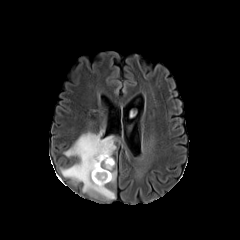
FLAIR magnetic resonance.
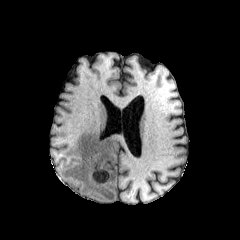
T1-weighted MRI of the same slice.
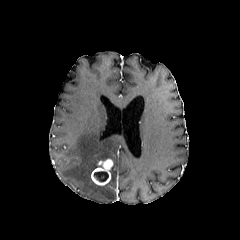
Post-contrast T1-weighted MRI.
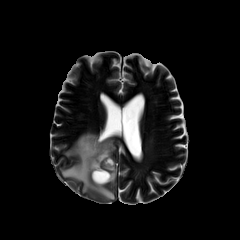
T2-weighted MR image.
Head. Axial plane.
necrotic tumor core = x1=94, y1=171, x2=108, y2=181
enhancing tumor = x1=91, y1=158, x2=113, y2=185
peritumoral edema = x1=109, y1=171, x2=116, y2=183; x1=60, y1=131, x2=120, y2=199